240x240 px.
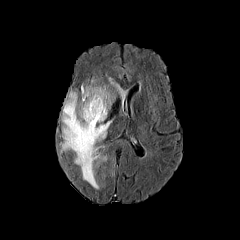
FLAIR magnetic resonance.
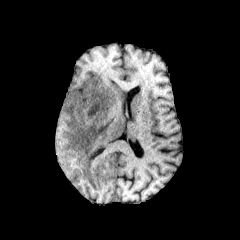
T1-weighted magnetic resonance of the same slice.
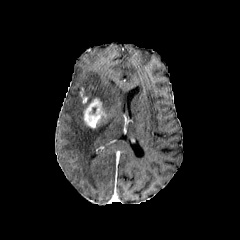
Same slice, post-contrast T1-weighted magnetic resonance.
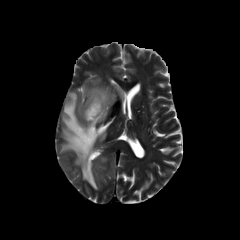
T2-weighted MRI of the same slice.
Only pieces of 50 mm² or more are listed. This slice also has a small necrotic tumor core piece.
* enhancing tumor: bbox(83, 98, 106, 128)
* peritumoral edema: bbox(60, 79, 115, 189); bbox(108, 77, 127, 107)